Slice 60/155, Image width 240 mm, 1.00 mm slice spacing
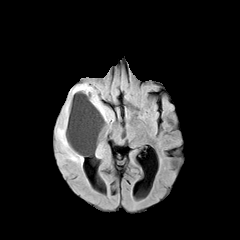
FLAIR MR image.
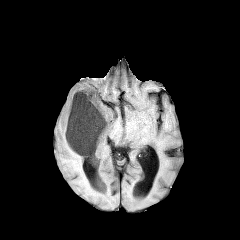
T1-weighted MR image.
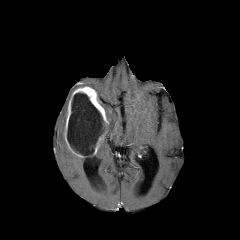
Same slice, post-contrast T1-weighted MRI.
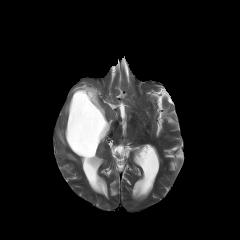
T2-weighted MR image of the same slice.
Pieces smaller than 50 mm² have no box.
Findings:
* necrotic tumor core: [67,93,104,155]
* enhancing tumor: [64,86,109,157]
* peritumoral edema: [101,103,114,131], [56,83,88,164], [96,143,103,156]